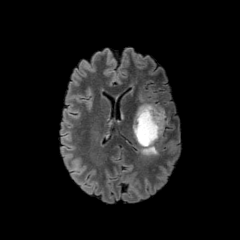
FLAIR magnetic resonance.
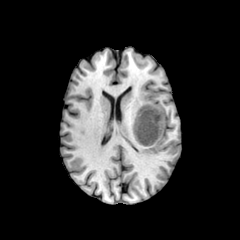
T1-weighted MRI.
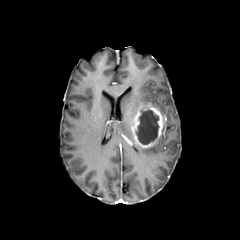
Post-contrast T1-weighted MR image of the same slice.
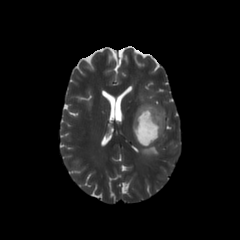
T2-weighted magnetic resonance.
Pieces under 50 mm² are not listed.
necrotic_tumor_core:
  - (136,109,159,144)
enhancing_tumor:
  - (132,104,166,147)
peritumoral_edema:
  - (141,145,158,155)
  - (135,78,165,115)